FLAIR MR image.
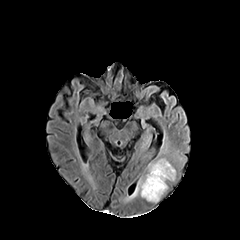
T1-weighted MRI.
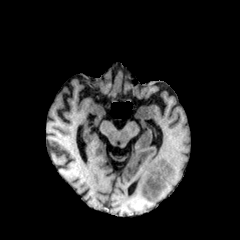
Post-contrast T1-weighted MR image.
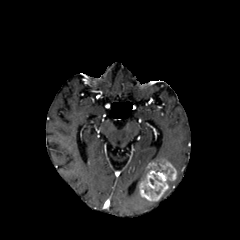
T2-weighted magnetic resonance.
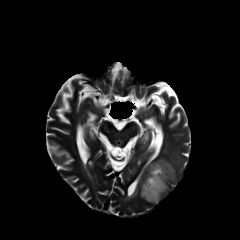
Image size 240x240 | Axial plane
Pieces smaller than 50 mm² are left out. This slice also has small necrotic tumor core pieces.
Findings:
• peritumoral edema: l=126, t=178, r=140, b=200
• enhancing tumor: l=139, t=159, r=176, b=201